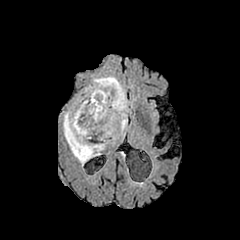
FLAIR MR.
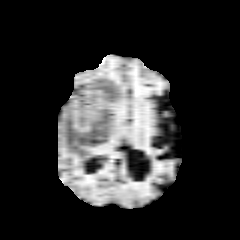
T1-weighted MR of the same slice.
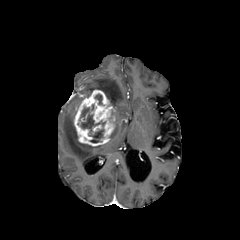
Post-contrast T1-weighted MR of the same slice.
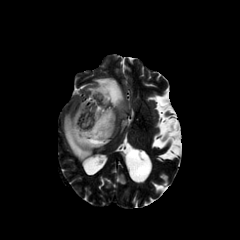
T2-weighted MRI.
240x240 px. Head.
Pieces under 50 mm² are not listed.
Findings:
• peritumoral edema: <bbox>85, 76, 130, 140</bbox>, <bbox>63, 110, 110, 165</bbox>
• necrotic tumor core: <bbox>89, 129, 103, 142</bbox>, <bbox>80, 107, 105, 133</bbox>, <bbox>95, 94, 102, 104</bbox>
• enhancing tumor: <bbox>73, 89, 115, 146</bbox>